Slice 56 of 155. Axial slice. Brain.
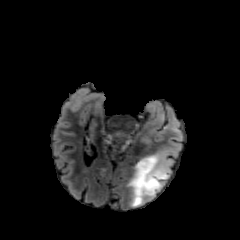
FLAIR MR.
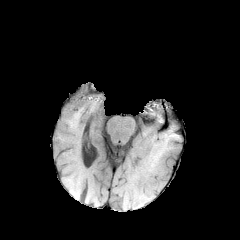
T1-weighted MR image.
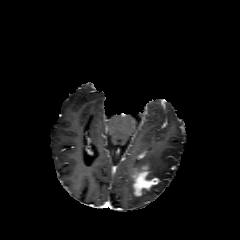
Post-contrast T1-weighted magnetic resonance.
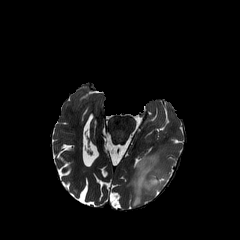
T2-weighted MR.
enhancing tumor at 133:166:159:195
peritumoral edema at 127:150:171:206